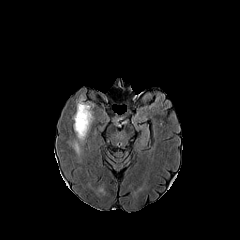
FLAIR MR.
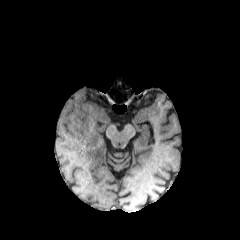
Same slice, T1-weighted MR image.
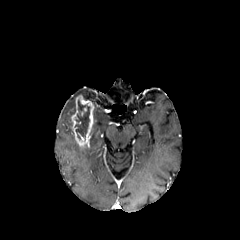
Post-contrast T1-weighted magnetic resonance of the same slice.
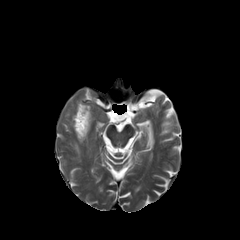
T2-weighted magnetic resonance.
Head.
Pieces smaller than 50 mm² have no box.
necrotic tumor core = bbox(75, 100, 89, 138)
peritumoral edema = bbox(73, 140, 80, 155)
enhancing tumor = bbox(72, 95, 94, 146)